240x240 px
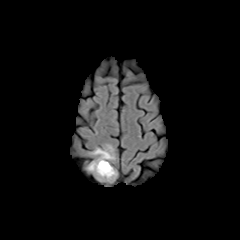
FLAIR MR.
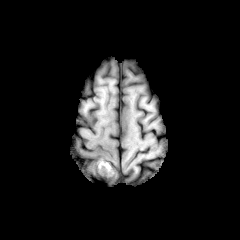
T1-weighted MR.
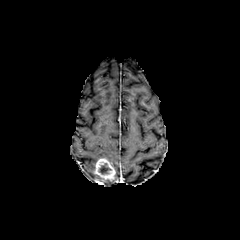
Post-contrast T1-weighted MR image.
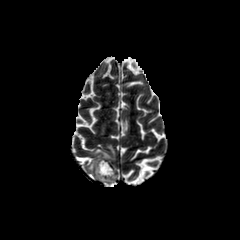
Same slice, T2-weighted MRI.
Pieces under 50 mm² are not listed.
{
  "necrotic_tumor_core": [
    "(99,163,110,174)"
  ],
  "enhancing_tumor": [
    "(95,158,115,180)"
  ],
  "peritumoral_edema": [
    "(88,145,114,172)"
  ]
}